Image size 240x240 | Image covers 240 mm x 240 mm | Axial plane
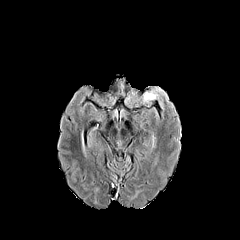
FLAIR magnetic resonance.
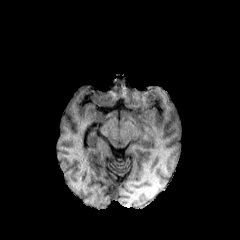
Same slice, T1-weighted MRI.
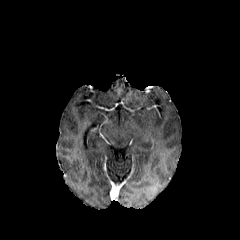
Post-contrast T1-weighted MR image.
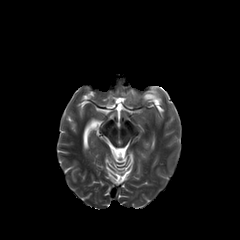
T2-weighted MRI.
<segmentation>
  <peritumoral_edema>{"x1": 143, "y1": 93, "x2": 156, "y2": 100}</peritumoral_edema>
</segmentation>